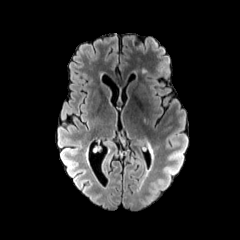
FLAIR magnetic resonance.
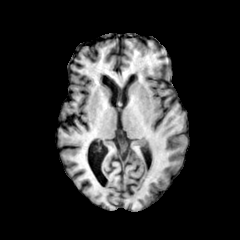
Same slice, T1-weighted magnetic resonance.
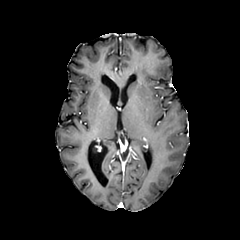
Post-contrast T1-weighted magnetic resonance.
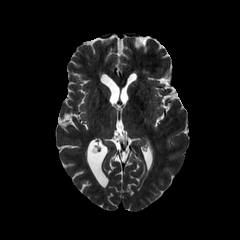
T2-weighted magnetic resonance.
Axial slice. Brain. 240x240.
The peritumoral edema is located at {"x1": 144, "y1": 136, "x2": 158, "y2": 152}.